Slice 35/155, Axial plane, Head
FLAIR MRI.
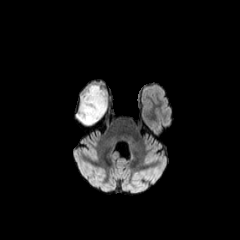
T1-weighted MR image.
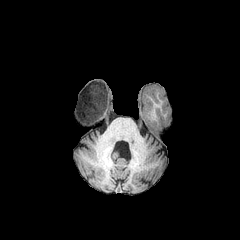
Post-contrast T1-weighted MR image.
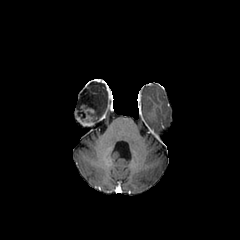
T2-weighted magnetic resonance.
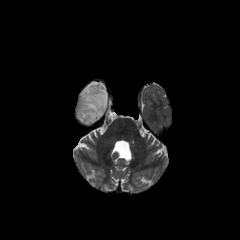
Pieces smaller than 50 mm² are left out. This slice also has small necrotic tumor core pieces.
peritumoral_edema:
  - <bbox>79, 83, 107, 120</bbox>
enhancing_tumor:
  - <bbox>76, 104, 97, 126</bbox>